FLAIR magnetic resonance.
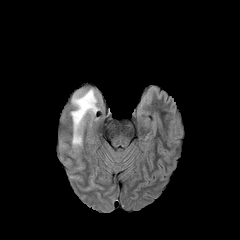
T1-weighted MR image.
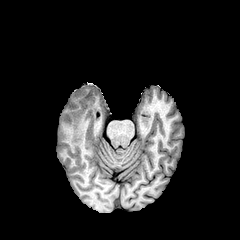
Post-contrast T1-weighted MR image.
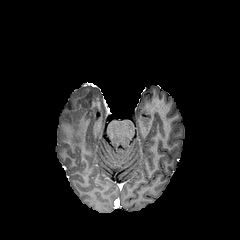
T2-weighted MRI.
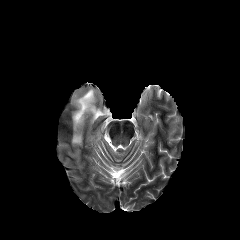
Brain. Axial slice. 240x240 px.
peritumoral edema: x1=71, y1=89, x2=98, y2=146